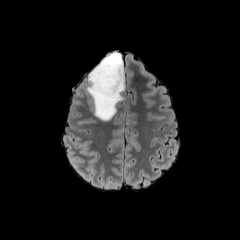
FLAIR MR image.
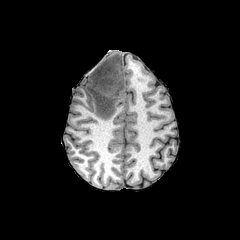
T1-weighted magnetic resonance.
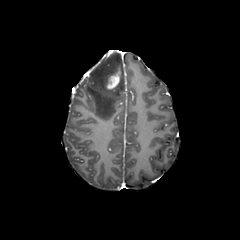
Post-contrast T1-weighted MR.
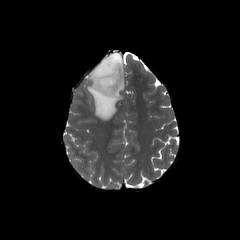
T2-weighted MR of the same slice.
Brain, Axial slice
{"peritumoral_edema": ["(87,52,124,120)"], "enhancing_tumor": ["(106,68,120,89)"]}